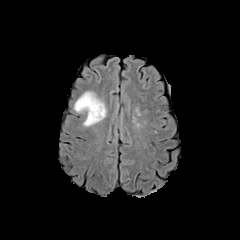
FLAIR MR.
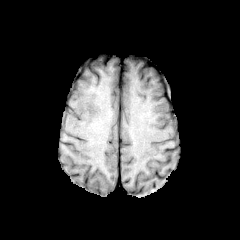
T1-weighted MRI.
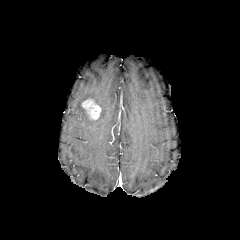
Post-contrast T1-weighted MR image.
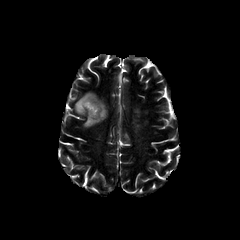
T2-weighted MR image.
Axial slice. 240x240 px.
{
  "peritumoral_edema": [
    "(x1=74, y1=91, x2=107, y2=127)"
  ],
  "enhancing_tumor": [
    "(x1=81, y1=99, x2=101, y2=119)"
  ]
}